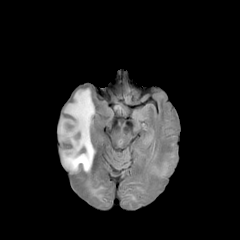
FLAIR MR.
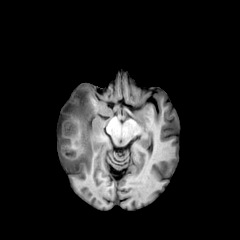
T1-weighted MR of the same slice.
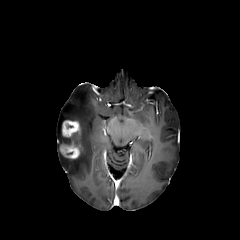
Post-contrast T1-weighted MR image of the same slice.
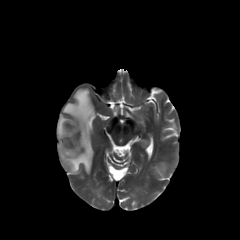
T2-weighted MR image.
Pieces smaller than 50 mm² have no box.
peritumoral edema — [58, 117, 70, 142], [61, 89, 94, 172]
enhancing tumor — [59, 141, 79, 158], [62, 120, 80, 137]
necrotic tumor core — [63, 137, 73, 144]